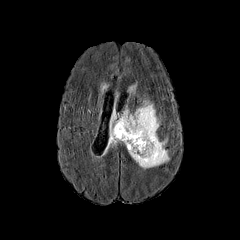
FLAIR MR.
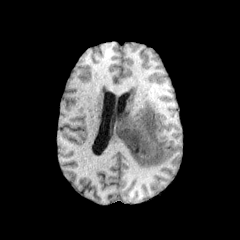
T1-weighted magnetic resonance.
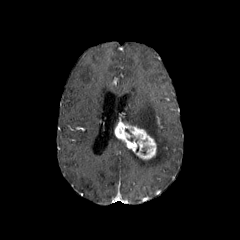
Post-contrast T1-weighted MR of the same slice.
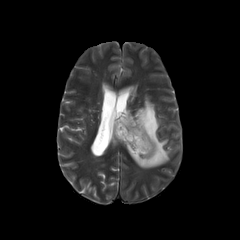
T2-weighted MR image.
240x240 px | Head
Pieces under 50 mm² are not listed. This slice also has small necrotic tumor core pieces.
<segmentation>
  <peritumoral_edema>(121,100,169,168), (106,114,120,149)</peritumoral_edema>
  <enhancing_tumor>(114,118,156,160)</enhancing_tumor>
</segmentation>